FLAIR MR.
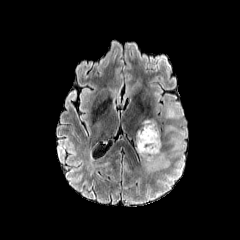
T1-weighted MR.
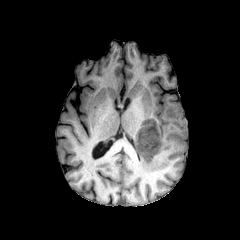
Post-contrast T1-weighted MR image.
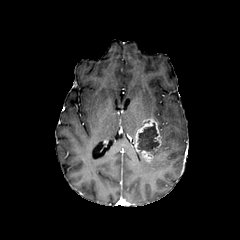
T2-weighted MR.
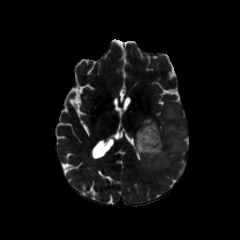
Head
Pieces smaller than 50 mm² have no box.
enhancing_tumor:
  - box(134, 118, 161, 162)
necrotic_tumor_core:
  - box(138, 123, 158, 151)
peritumoral_edema:
  - box(165, 106, 178, 118)
  - box(145, 142, 168, 170)
  - box(165, 125, 185, 151)